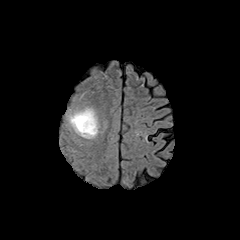
FLAIR magnetic resonance.
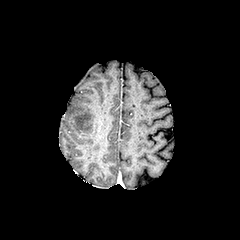
Same slice, T1-weighted magnetic resonance.
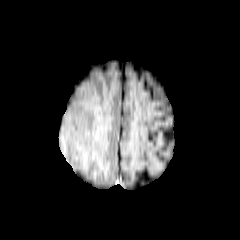
Post-contrast T1-weighted magnetic resonance of the same slice.
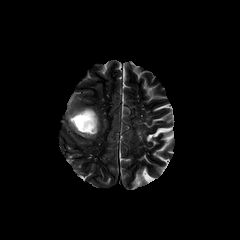
T2-weighted MR image.
The necrotic tumor core appears at box=[74, 115, 91, 131]. The peritumoral edema lies within box=[67, 107, 98, 138].